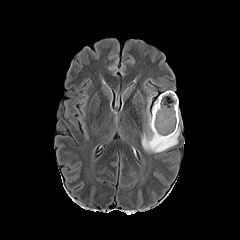
FLAIR MRI.
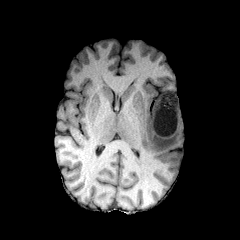
T1-weighted magnetic resonance.
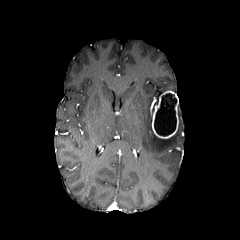
Post-contrast T1-weighted MRI.
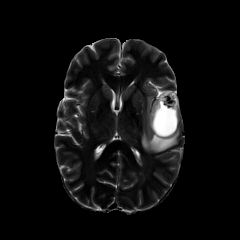
Same slice, T2-weighted magnetic resonance.
Brain
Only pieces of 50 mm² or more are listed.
peritumoral edema at bbox(141, 96, 180, 152)
necrotic tumor core at bbox(154, 93, 176, 136)
enhancing tumor at bbox(152, 90, 178, 138)